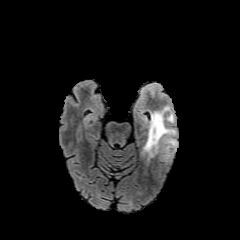
FLAIR MRI.
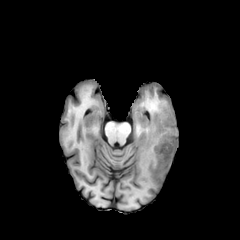
Same slice, T1-weighted MRI.
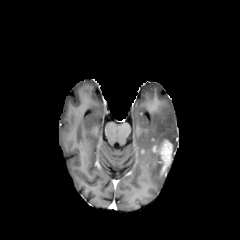
Post-contrast T1-weighted MR.
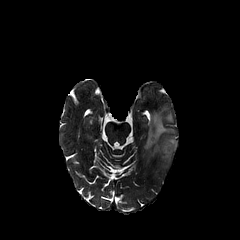
T2-weighted MR.
Image size 240x240 | Brain
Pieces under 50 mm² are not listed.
peritumoral edema at 144,107,177,156
enhancing tumor at 153,140,172,172